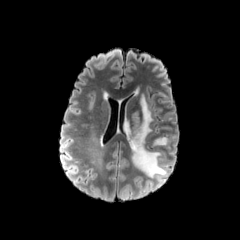
FLAIR MR image.
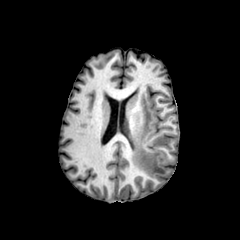
T1-weighted MR.
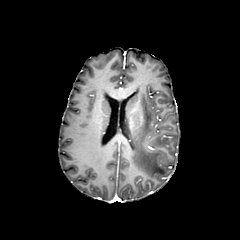
Post-contrast T1-weighted magnetic resonance of the same slice.
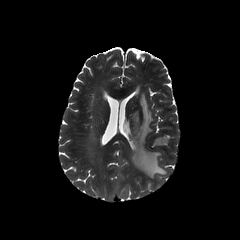
Same slice, T2-weighted MR image.
peritumoral edema = bbox=[123, 97, 167, 177]; bbox=[151, 136, 166, 146]